FLAIR MR image.
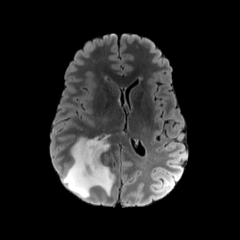
T1-weighted MR image.
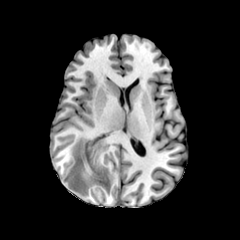
Post-contrast T1-weighted MR image.
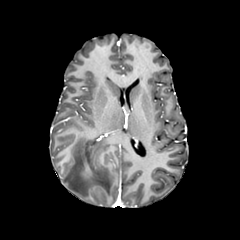
T2-weighted MRI.
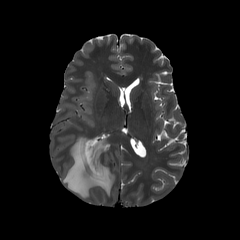
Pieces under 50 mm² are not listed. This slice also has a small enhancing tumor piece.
The peritumoral edema is located at (63, 133, 114, 198).